FLAIR MR image.
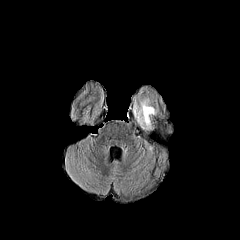
T1-weighted MR.
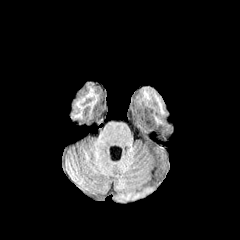
Post-contrast T1-weighted MRI.
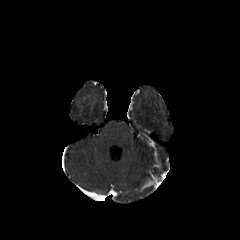
T2-weighted MRI.
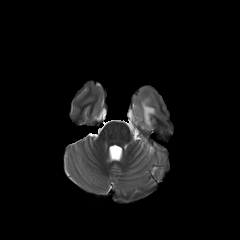
Head | Axial view
The peritumoral edema is located at [133, 98, 156, 129].